Image width 240 mm, 1.00 mm slice spacing; Head; Axial plane
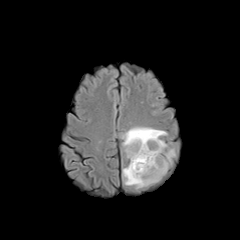
FLAIR magnetic resonance.
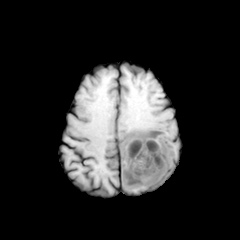
T1-weighted MR image.
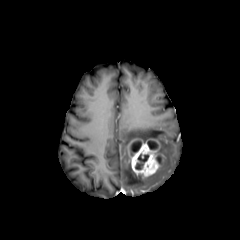
Post-contrast T1-weighted MR of the same slice.
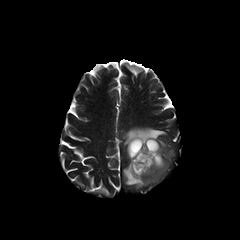
T2-weighted MR image.
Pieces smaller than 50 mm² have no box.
enhancing tumor: box=[128, 138, 165, 176] | peritumoral edema: box=[122, 127, 175, 189] | necrotic tumor core: box=[135, 154, 148, 169]; box=[131, 141, 140, 152]; box=[148, 141, 158, 149]